Brain; Slice index 89
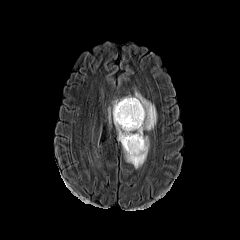
FLAIR MR image.
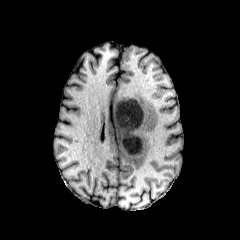
T1-weighted MR image.
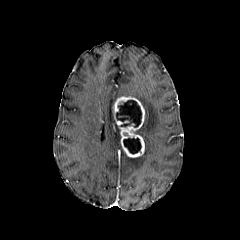
Post-contrast T1-weighted MR image.
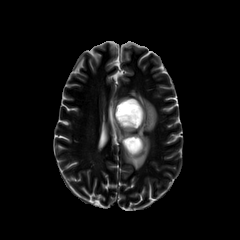
T2-weighted MR image.
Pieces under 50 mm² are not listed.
Annotated regions:
- peritumoral edema: <bbox>114, 120, 120, 141</bbox>, <bbox>125, 92, 156, 169</bbox>
- enhancing tumor: <bbox>113, 96, 144, 157</bbox>
- necrotic tumor core: <bbox>116, 100, 141, 127</bbox>, <bbox>123, 138, 141, 154</bbox>